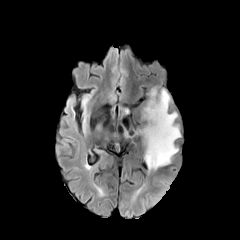
FLAIR MRI.
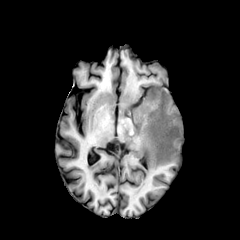
T1-weighted magnetic resonance of the same slice.
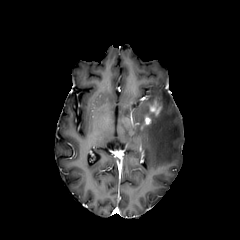
Post-contrast T1-weighted magnetic resonance.
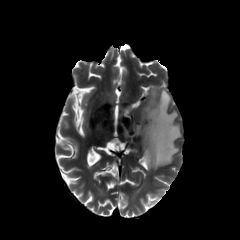
T2-weighted MR image.
Axial slice
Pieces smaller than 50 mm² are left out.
peritumoral edema: bounding box region(136, 89, 180, 170)
enhancing tumor: bounding box region(149, 100, 161, 115)